Slice 61/155
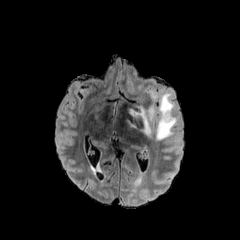
FLAIR MR.
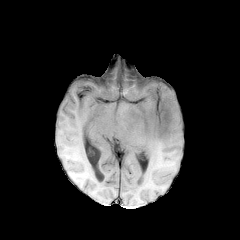
T1-weighted MR of the same slice.
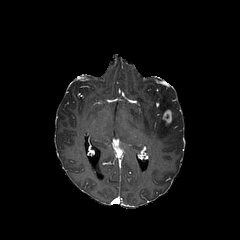
Post-contrast T1-weighted magnetic resonance of the same slice.
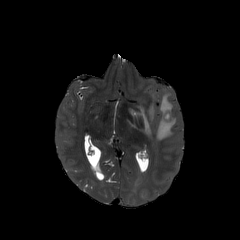
Same slice, T2-weighted MR image.
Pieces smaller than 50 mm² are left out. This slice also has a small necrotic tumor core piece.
2 peritumoral edema regions are located at x1=156 y1=92 x2=178 y2=140, x1=127 y1=90 x2=157 y2=136. The enhancing tumor appears at x1=162 y1=109 x2=172 y2=125.